FLAIR MRI.
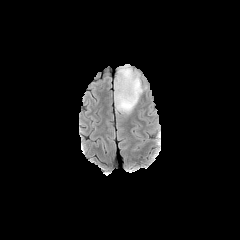
T1-weighted MR.
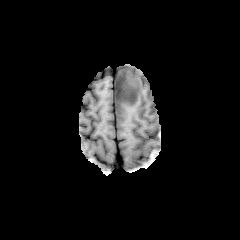
Post-contrast T1-weighted MR image.
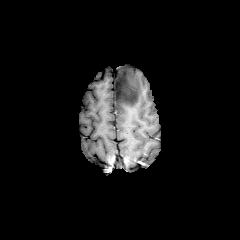
T2-weighted MRI.
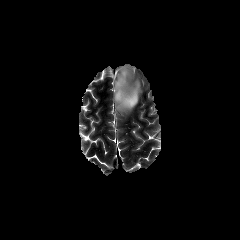
Head. Axial plane. Image size 240x240.
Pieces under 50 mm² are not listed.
The largest peritumoral edema region is at (114, 64, 142, 113). The necrotic tumor core is located at (114, 66, 137, 104).